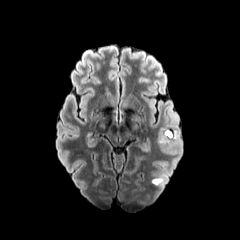
FLAIR MR image.
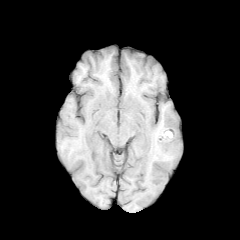
T1-weighted MR.
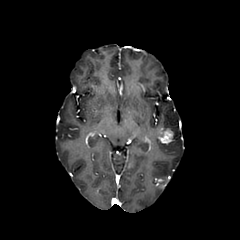
Same slice, post-contrast T1-weighted MRI.
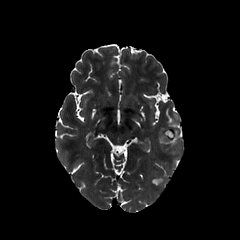
T2-weighted MRI.
240x240
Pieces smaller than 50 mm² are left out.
The 2 largest peritumoral edema regions appear at x1=158, y1=129, x2=178, y2=146; x1=157, y1=173, x2=167, y2=186. The largest enhancing tumor region is at x1=158, y1=130, x2=172, y2=143.